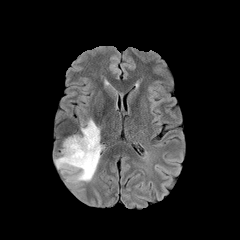
FLAIR magnetic resonance.
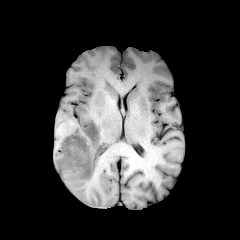
T1-weighted magnetic resonance.
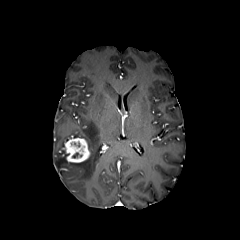
Post-contrast T1-weighted magnetic resonance.
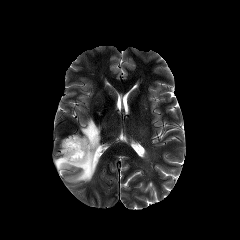
Same slice, T2-weighted MR image.
Axial view | Brain
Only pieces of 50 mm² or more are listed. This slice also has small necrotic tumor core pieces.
enhancing tumor = {"x1": 63, "y1": 137, "x2": 90, "y2": 162}
peritumoral edema = {"x1": 55, "y1": 119, "x2": 101, "y2": 182}